Image size 240x240 | Axial plane | Slice index 82
FLAIR magnetic resonance.
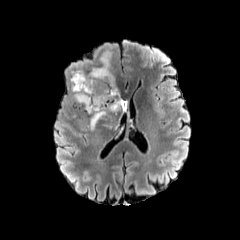
T1-weighted MR image.
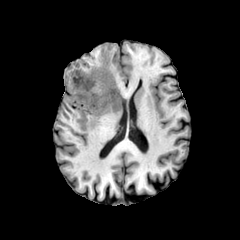
Post-contrast T1-weighted MR.
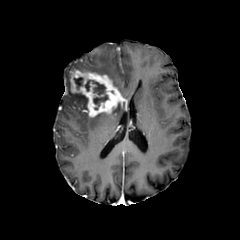
T2-weighted magnetic resonance.
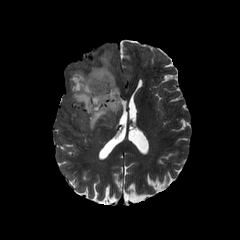
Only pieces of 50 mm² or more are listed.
peritumoral_edema:
  - <box>72,93,87,111</box>
  - <box>89,113,117,130</box>
  - <box>91,51,115,86</box>
necrotic_tumor_core:
  - <box>74,77,105,95</box>
  - <box>93,95,107,106</box>
enhancing_tumor:
  - <box>70,70,127,117</box>